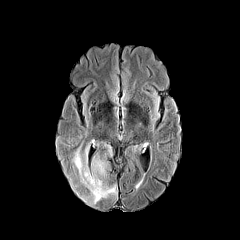
FLAIR MR image.
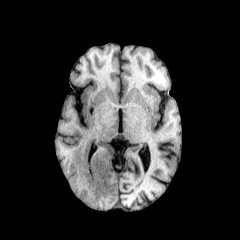
T1-weighted MR.
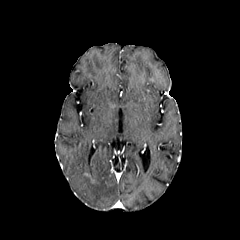
Post-contrast T1-weighted MRI.
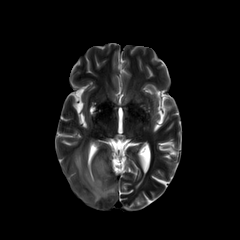
T2-weighted MR of the same slice.
Image size 240x240.
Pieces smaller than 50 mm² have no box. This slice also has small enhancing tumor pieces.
The largest peritumoral edema region is at region(72, 146, 117, 203).